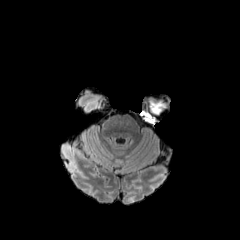
FLAIR MR.
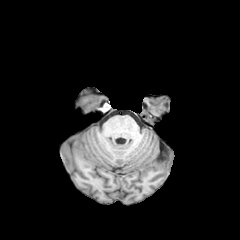
Same slice, T1-weighted MR image.
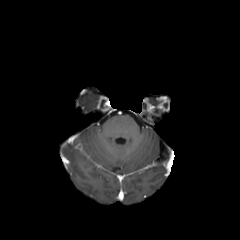
Post-contrast T1-weighted MR of the same slice.
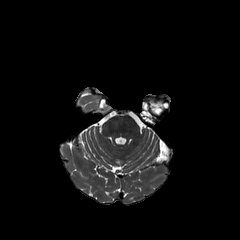
T2-weighted MR image.
Axial slice; Head
peritumoral edema: bounding box (left=149, top=101, right=165, bottom=114)